FLAIR MR.
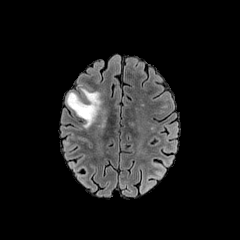
T1-weighted MR image.
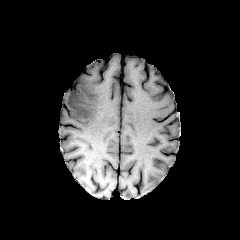
Post-contrast T1-weighted MR image.
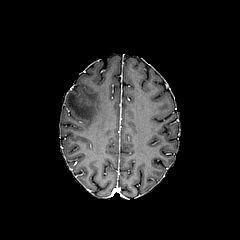
T2-weighted MR.
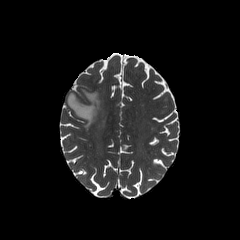
Brain; 240x240
peritumoral edema: bounding box l=66, t=87, r=101, b=128